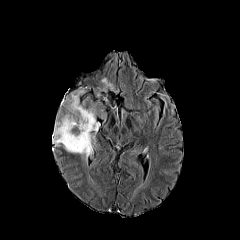
FLAIR MRI.
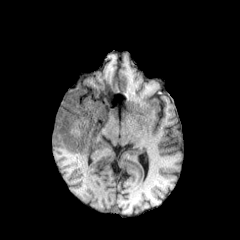
T1-weighted MR image.
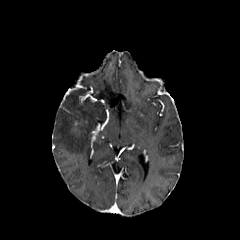
Same slice, post-contrast T1-weighted MR.
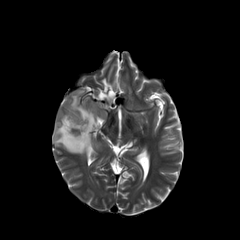
T2-weighted magnetic resonance.
Axial slice
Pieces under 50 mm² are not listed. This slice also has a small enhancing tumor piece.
2 peritumoral edema regions appear at bbox=[52, 89, 99, 157]; bbox=[96, 76, 115, 96].